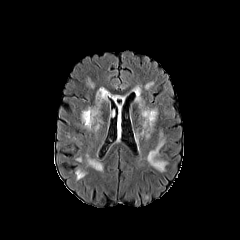
FLAIR MRI.
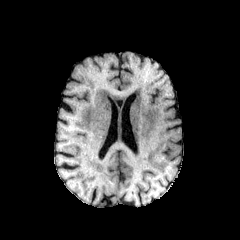
T1-weighted MR image of the same slice.
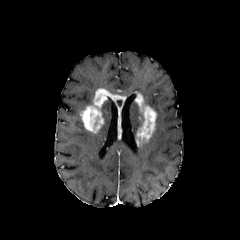
Post-contrast T1-weighted MRI.
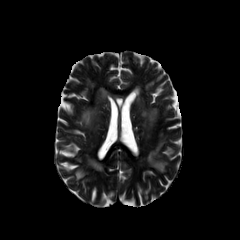
T2-weighted MRI of the same slice.
240x240 px; Axial slice
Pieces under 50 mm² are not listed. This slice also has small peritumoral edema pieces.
2 enhancing tumor regions appear at x1=135 y1=92 x2=156 y2=143, x1=80 y1=88 x2=125 y2=136.